Brain. Image width 240 mm, 1.00 mm slice spacing.
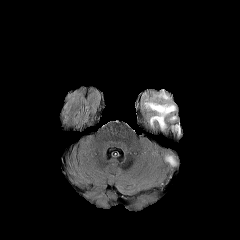
FLAIR MR.
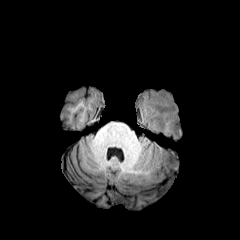
T1-weighted MRI.
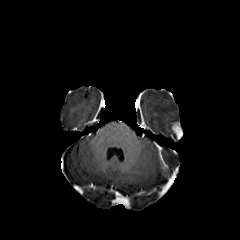
Post-contrast T1-weighted MRI.
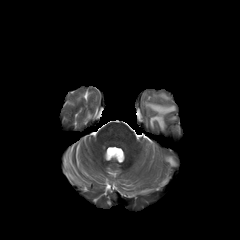
T2-weighted MR.
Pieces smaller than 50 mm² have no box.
<segmentation>
  <peritumoral_edema>box=[146, 103, 174, 127]</peritumoral_edema>
  <enhancing_tumor>box=[172, 123, 181, 136]</enhancing_tumor>
</segmentation>